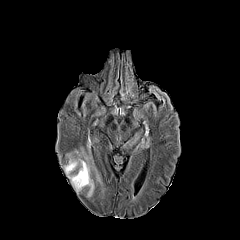
FLAIR MR.
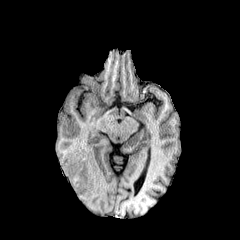
T1-weighted MR.
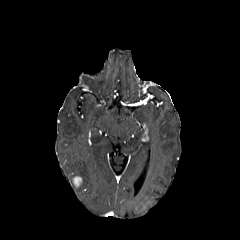
Same slice, post-contrast T1-weighted MR image.
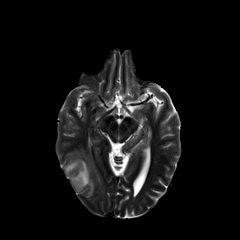
T2-weighted magnetic resonance of the same slice.
Axial view; 240x240
• peritumoral edema: left=63, top=149, right=101, bottom=197
• enhancing tumor: left=72, top=176, right=82, bottom=187